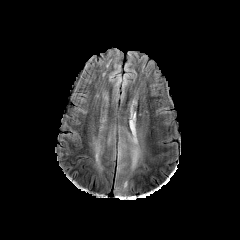
FLAIR MR image.
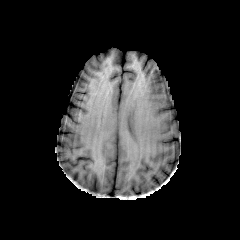
T1-weighted MRI.
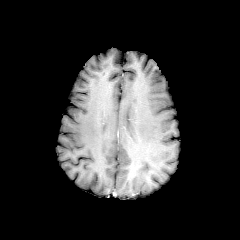
Post-contrast T1-weighted MR of the same slice.
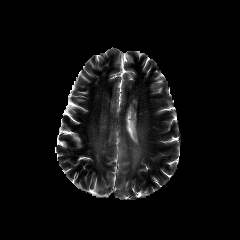
Same slice, T2-weighted magnetic resonance.
Head.
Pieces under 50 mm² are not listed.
The largest peritumoral edema region is located at x1=130 y1=126 x2=137 y2=142.